Slice 88 of 155, Brain
FLAIR MR image.
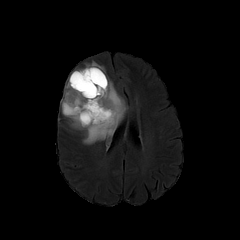
T1-weighted MR.
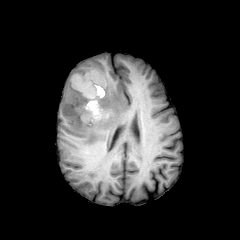
Post-contrast T1-weighted MRI.
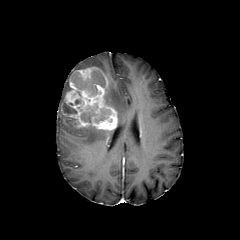
T2-weighted MR.
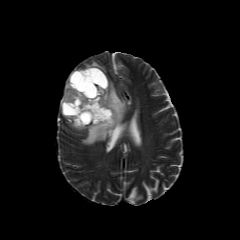
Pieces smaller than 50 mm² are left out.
enhancing tumor: region(61, 67, 117, 130)
necrotic tumor core: region(95, 111, 109, 121); region(71, 70, 105, 94); region(81, 112, 95, 122); region(62, 102, 76, 114)
peritumoral edema: region(64, 116, 115, 144); region(61, 79, 71, 104); region(81, 61, 105, 74); region(105, 79, 127, 124)